Image width 240 mm, 1.00 mm slice spacing. Axial slice. Slice 53/155. 240x240 px. Head.
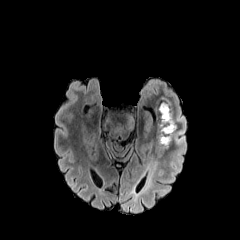
FLAIR MR image.
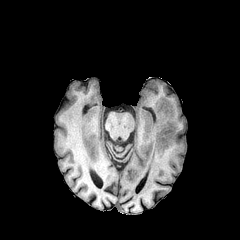
T1-weighted MR image.
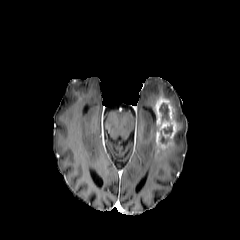
Same slice, post-contrast T1-weighted MR.
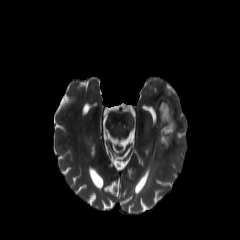
Same slice, T2-weighted MRI.
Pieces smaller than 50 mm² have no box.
peritumoral edema at {"x1": 151, "y1": 93, "x2": 186, "y2": 159}
necrotic tumor core at {"x1": 159, "y1": 103, "x2": 168, "y2": 119}
enhancing tumor at {"x1": 154, "y1": 97, "x2": 177, "y2": 150}